FLAIR magnetic resonance.
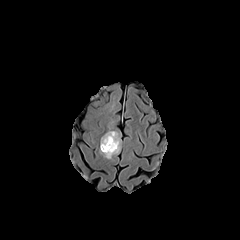
T1-weighted MR.
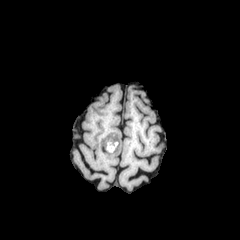
Post-contrast T1-weighted MR image.
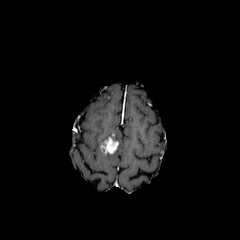
T2-weighted MR.
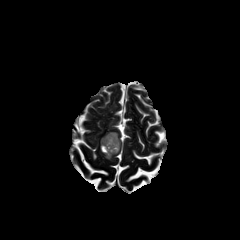
Head. Axial plane.
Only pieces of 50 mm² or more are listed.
peritumoral edema = 100:131:121:159
enhancing tumor = 100:137:118:154